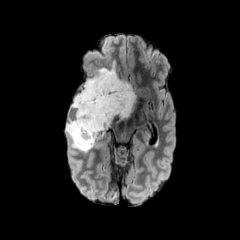
FLAIR magnetic resonance.
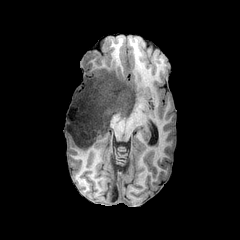
T1-weighted MR image.
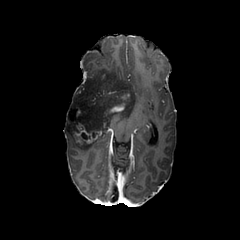
Post-contrast T1-weighted MRI.
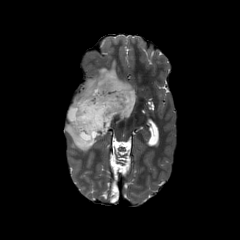
T2-weighted MR of the same slice.
Head; Axial view
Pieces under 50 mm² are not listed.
Annotated regions:
- peritumoral edema: [69,61,136,136], [66,116,94,152]
- necrotic tumor core: [81,132,90,140], [70,109,76,119]
- enhancing tumor: [72,107,100,145], [110,103,124,112]